FLAIR MR image.
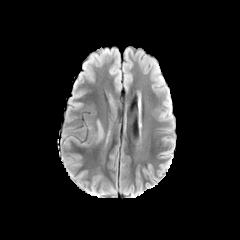
T1-weighted MR.
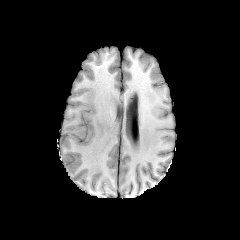
Post-contrast T1-weighted MRI.
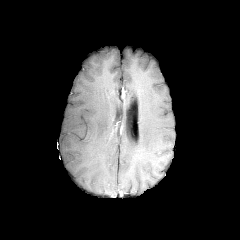
T2-weighted magnetic resonance.
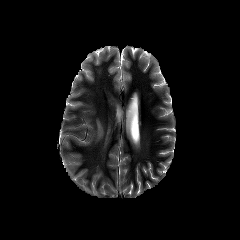
240x240; Brain; Axial slice
The peritumoral edema appears at 97,121,103,138.